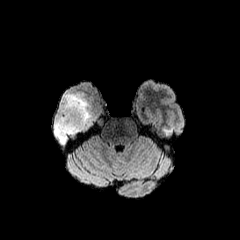
FLAIR magnetic resonance.
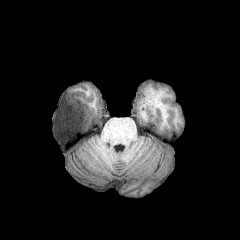
T1-weighted magnetic resonance of the same slice.
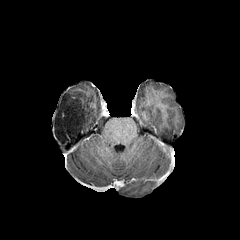
Post-contrast T1-weighted magnetic resonance of the same slice.
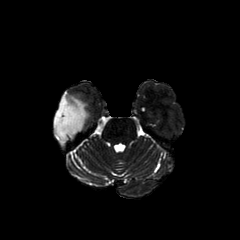
Same slice, T2-weighted MRI.
Axial view; Head
<segmentation>
  <peritumoral_edema>[53, 94, 91, 144]</peritumoral_edema>
</segmentation>